FLAIR MR image.
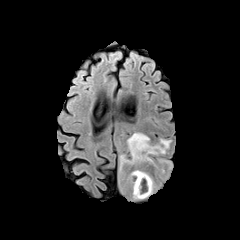
T1-weighted MR.
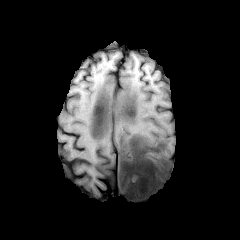
Post-contrast T1-weighted MRI.
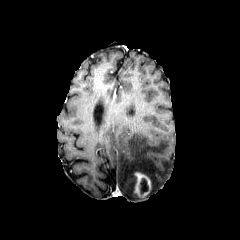
T2-weighted MR image.
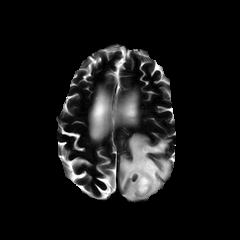
Image size 240x240; Axial view
The enhancing tumor is bounded by <box>133,171,153,198</box>. The peritumoral edema lies within <box>119,133,171,200</box>. The necrotic tumor core is located at <box>140,178,148,193</box>.